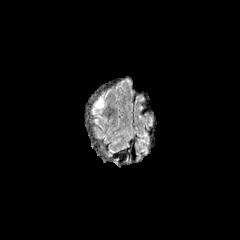
FLAIR MRI.
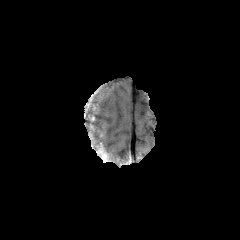
T1-weighted MRI.
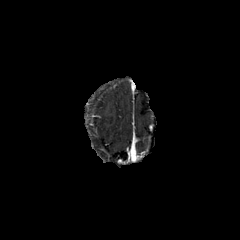
Post-contrast T1-weighted MR.
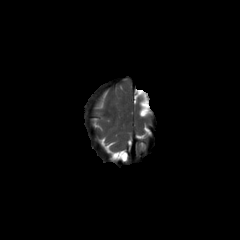
T2-weighted magnetic resonance.
Brain; 240x240 px
peritumoral edema: bounding box 94, 94, 104, 114